FLAIR MR.
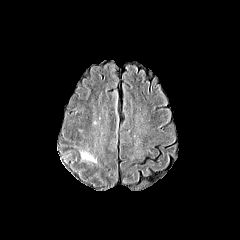
T1-weighted MRI.
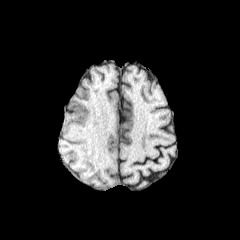
Post-contrast T1-weighted MR.
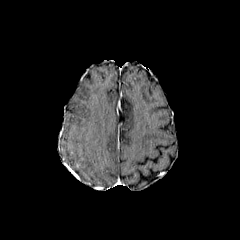
T2-weighted MR image.
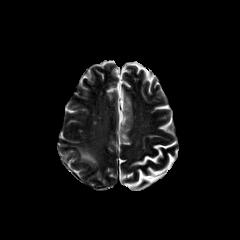
Brain
Findings:
* peritumoral edema: x1=81, y1=152, x2=95, y2=162